FLAIR MR.
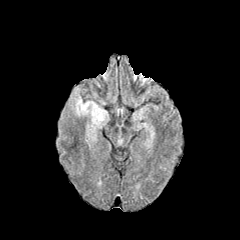
T1-weighted MR image.
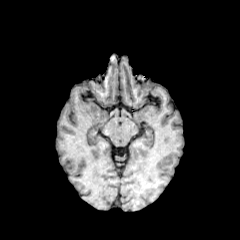
Post-contrast T1-weighted MR.
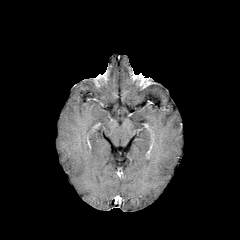
T2-weighted magnetic resonance.
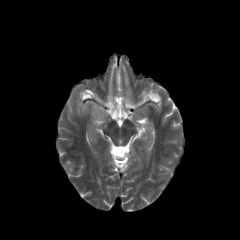
Annotated regions:
- peritumoral edema: [x1=75, y1=95, x2=108, y2=130]